FLAIR MR.
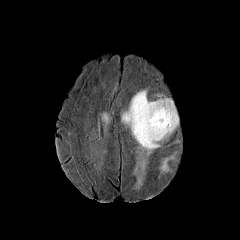
T1-weighted MR.
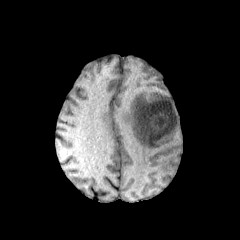
Post-contrast T1-weighted MRI.
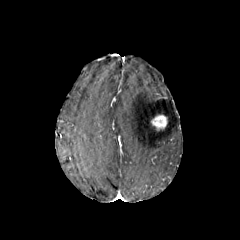
T2-weighted MR image.
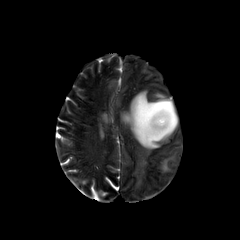
Brain, 240x240 px
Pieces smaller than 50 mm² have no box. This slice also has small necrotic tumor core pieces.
The enhancing tumor is at (150, 114, 167, 131). 3 peritumoral edema regions are bounded by (158, 151, 177, 176), (121, 90, 178, 188), (102, 113, 109, 122).